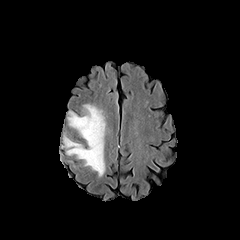
FLAIR MRI.
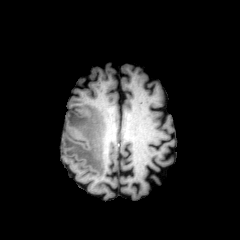
T1-weighted magnetic resonance.
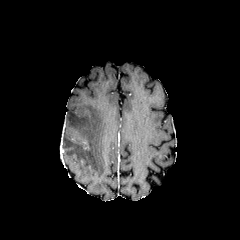
Post-contrast T1-weighted MR image.
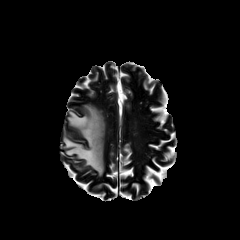
T2-weighted magnetic resonance of the same slice.
Head
peritumoral_edema:
  - [63,104,105,176]